FLAIR MRI.
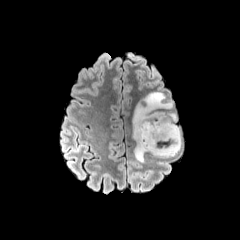
T1-weighted MR image.
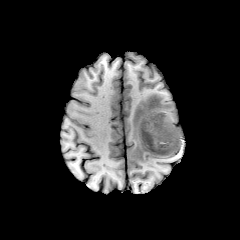
Post-contrast T1-weighted magnetic resonance.
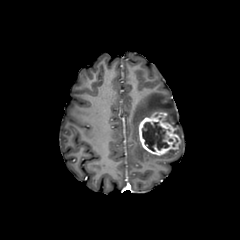
T2-weighted MRI.
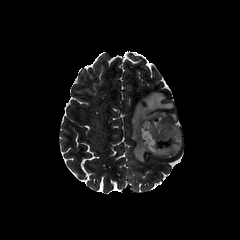
Axial slice
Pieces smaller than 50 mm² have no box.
{"enhancing_tumor": ["<bbox>138, 112, 180, 155</bbox>"], "necrotic_tumor_core": ["<bbox>142, 122, 168, 151</bbox>"], "peritumoral_edema": ["<bbox>132, 92, 181, 162</bbox>"]}